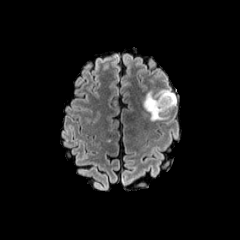
FLAIR MR.
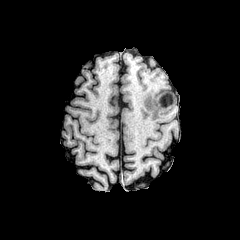
Same slice, T1-weighted MR image.
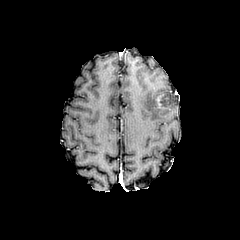
Post-contrast T1-weighted MRI.
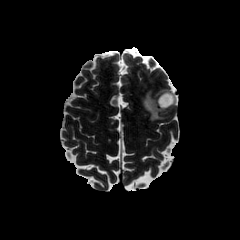
Same slice, T2-weighted magnetic resonance.
Axial view; Head
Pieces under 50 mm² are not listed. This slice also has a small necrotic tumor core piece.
The peritumoral edema is located at <bbox>141, 89, 176, 121</bbox>. The enhancing tumor is at <bbox>155, 93, 172, 111</bbox>.